240x240
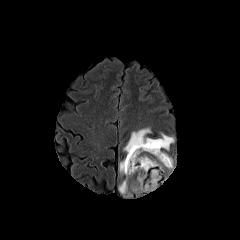
FLAIR MR.
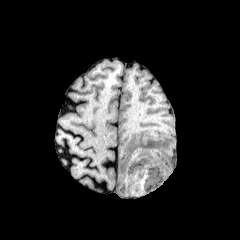
T1-weighted magnetic resonance.
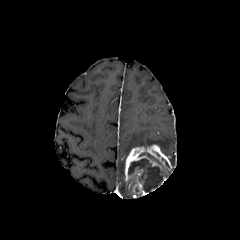
Post-contrast T1-weighted MR image of the same slice.
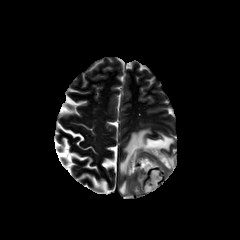
Same slice, T2-weighted MR image.
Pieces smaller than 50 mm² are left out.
peritumoral edema: bounding box [x1=119, y1=180, x2=131, y2=195], [x1=123, y1=128, x2=174, y2=156], [x1=119, y1=158, x2=125, y2=174]
enhancing tumor: bounding box [x1=124, y1=144, x2=172, y2=196]
necrotic tumor core: bounding box [x1=128, y1=159, x2=163, y2=192]